FLAIR MR.
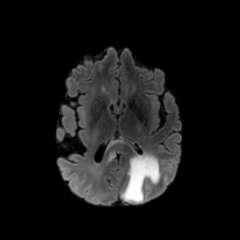
T1-weighted MR.
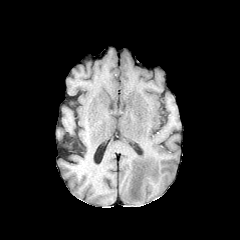
Post-contrast T1-weighted MR image.
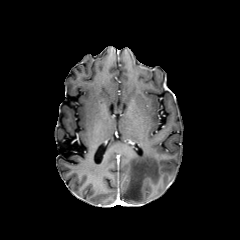
T2-weighted magnetic resonance.
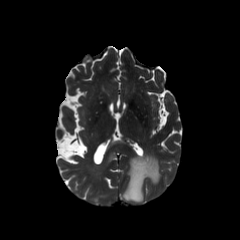
240x240 px
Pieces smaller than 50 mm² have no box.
{
  "peritumoral_edema": [
    "x1=122 y1=154 x2=160 y2=202",
    "x1=107 y1=146 x2=122 y2=162"
  ]
}